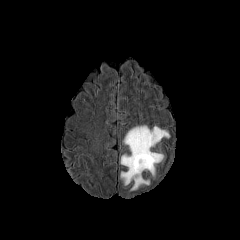
FLAIR MRI.
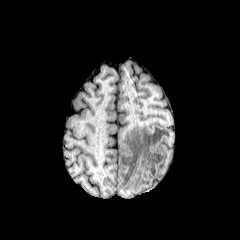
T1-weighted MR image.
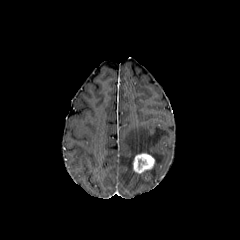
Post-contrast T1-weighted magnetic resonance.
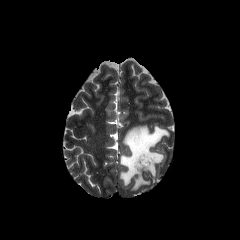
T2-weighted MRI.
240x240, Brain
enhancing_tumor:
  - 133:153:154:173
peritumoral_edema:
  - 120:125:170:191